FLAIR MRI.
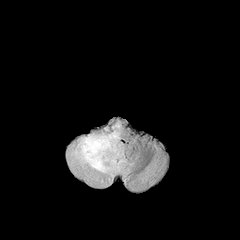
T1-weighted MR.
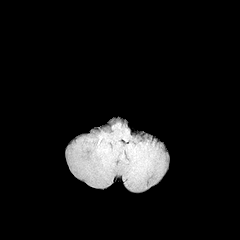
Post-contrast T1-weighted magnetic resonance.
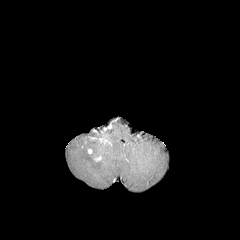
T2-weighted MR.
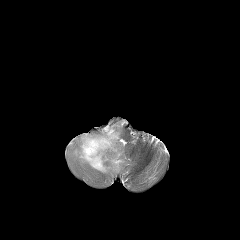
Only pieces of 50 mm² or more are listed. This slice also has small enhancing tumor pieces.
The peritumoral edema appears at 66,121,132,183.